Brain
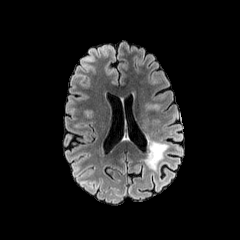
FLAIR MR image.
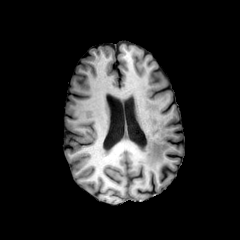
T1-weighted MRI.
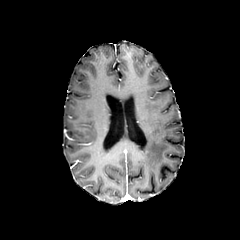
Post-contrast T1-weighted magnetic resonance of the same slice.
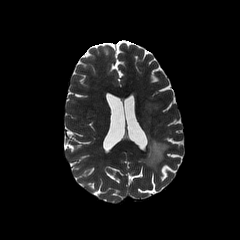
Same slice, T2-weighted MR.
peritumoral_edema:
  - (145, 136, 168, 169)